FLAIR MRI.
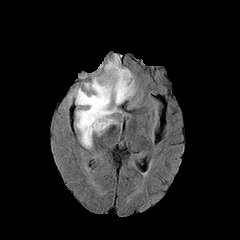
T1-weighted magnetic resonance.
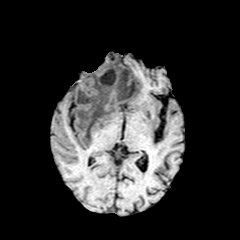
Post-contrast T1-weighted MR.
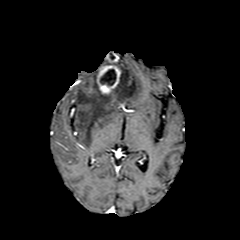
T2-weighted MR image.
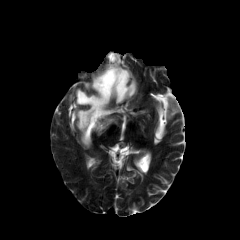
Image size 240x240.
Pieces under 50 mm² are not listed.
{"peritumoral_edema": ["(left=76, top=59, right=136, bottom=147)"], "enhancing_tumor": ["(left=96, top=53, right=121, bottom=94)"], "necrotic_tumor_core": ["(left=100, top=69, right=116, bottom=85)"]}